Axial slice. Head.
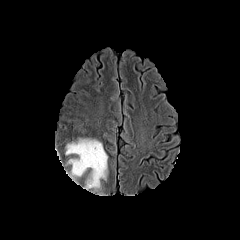
FLAIR magnetic resonance.
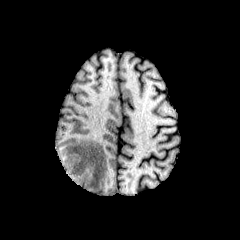
T1-weighted MR image.
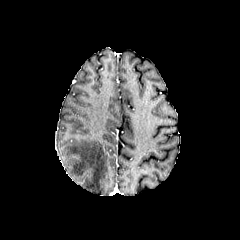
Post-contrast T1-weighted MRI of the same slice.
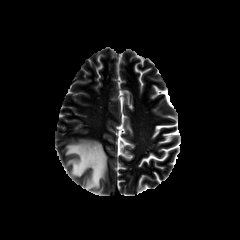
T2-weighted MR image.
peritumoral edema = left=65, top=139, right=107, bottom=190